Head, Image width 240 mm
FLAIR MR image.
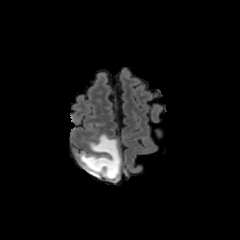
T1-weighted MRI.
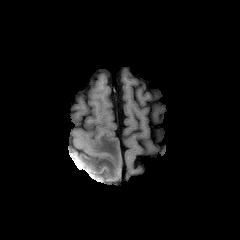
Post-contrast T1-weighted MR.
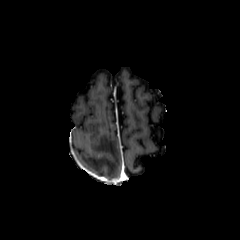
T2-weighted magnetic resonance.
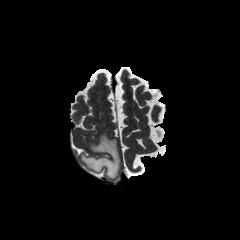
peritumoral_edema:
  - 79 134 120 179